240x240 px; Slice 83 of 155; Axial slice
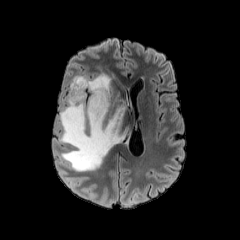
FLAIR MRI.
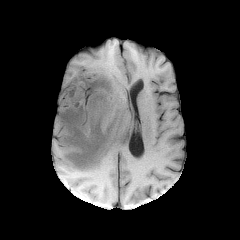
T1-weighted MR of the same slice.
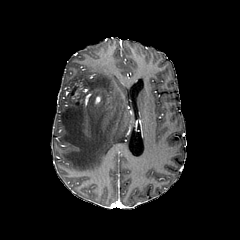
Post-contrast T1-weighted MR image.
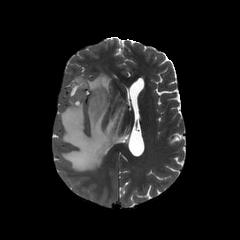
T2-weighted magnetic resonance.
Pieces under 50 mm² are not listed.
enhancing_tumor:
  - (94, 96, 101, 104)
peritumoral_edema:
  - (59, 72, 126, 171)